Brain; Slice 133/155
FLAIR MR.
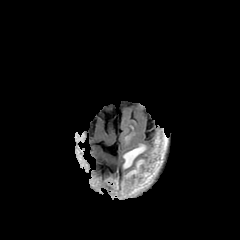
T1-weighted MRI.
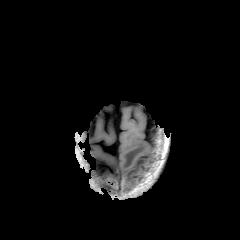
Post-contrast T1-weighted MRI.
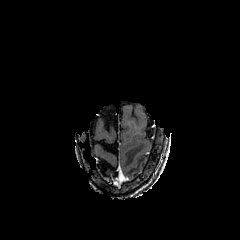
T2-weighted MR.
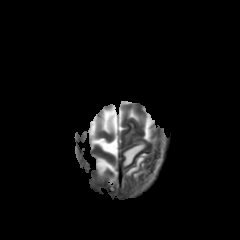
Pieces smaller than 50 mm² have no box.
peritumoral edema: x1=123 y1=143 x2=146 y2=168, x1=125 y1=158 x2=144 y2=177